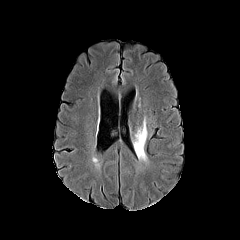
FLAIR MRI.
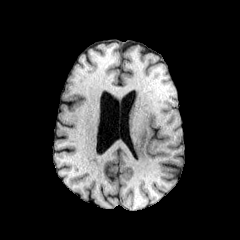
T1-weighted MR image of the same slice.
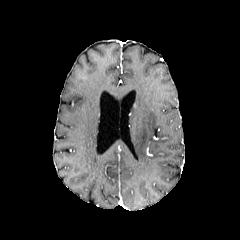
Post-contrast T1-weighted MR.
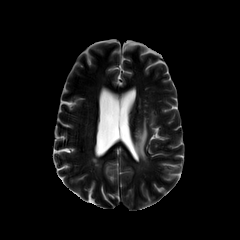
T2-weighted MRI.
peritumoral edema — rect(134, 117, 147, 161)